FLAIR magnetic resonance.
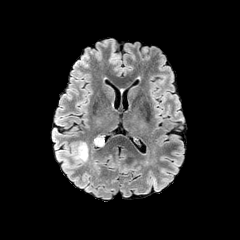
T1-weighted MR.
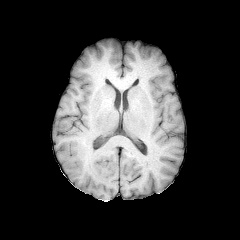
Post-contrast T1-weighted magnetic resonance.
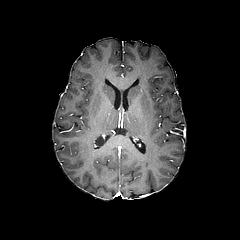
T2-weighted MRI.
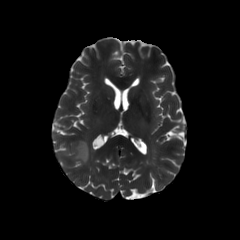
Head
<segmentation>
  <peritumoral_edema>box(67, 142, 88, 162)</peritumoral_edema>
</segmentation>